240x240. Axial slice. Brain. Slice 104/155.
FLAIR MRI.
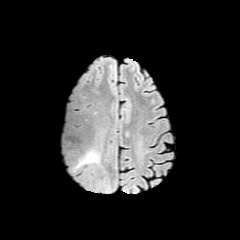
T1-weighted MR image.
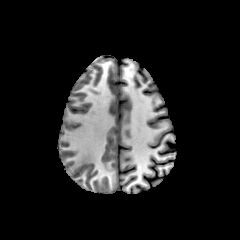
Post-contrast T1-weighted MRI.
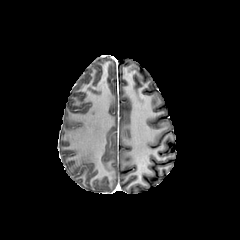
T2-weighted MR.
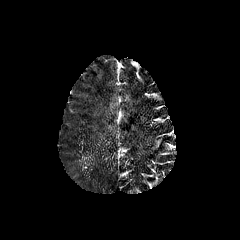
peritumoral edema: 77,148,101,167; 96,126,108,144